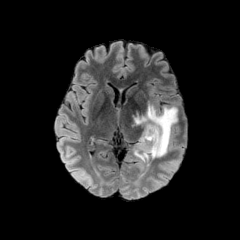
FLAIR MRI.
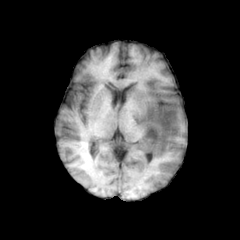
Same slice, T1-weighted MRI.
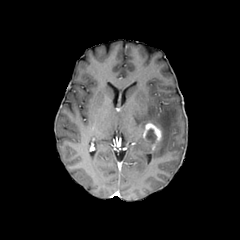
Same slice, post-contrast T1-weighted MR.
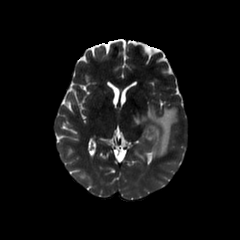
T2-weighted magnetic resonance of the same slice.
Axial plane, 240x240
Findings:
• necrotic tumor core: bbox(146, 128, 156, 142)
• peritumoral edema: bbox(134, 105, 177, 160)
• enhancing tumor: bbox(142, 122, 162, 150)